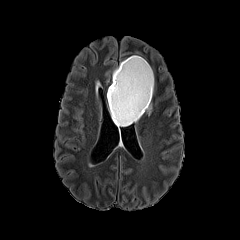
FLAIR MR image.
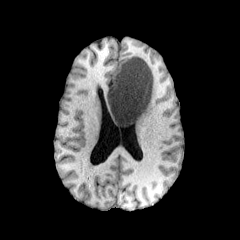
Same slice, T1-weighted MR image.
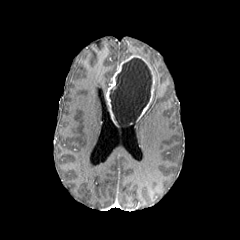
Same slice, post-contrast T1-weighted magnetic resonance.
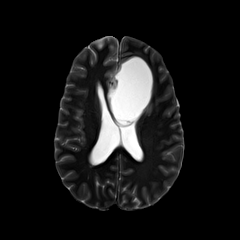
Same slice, T2-weighted MR image.
Head. 240x240.
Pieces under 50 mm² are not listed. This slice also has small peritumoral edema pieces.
necrotic_tumor_core:
  - x1=109 y1=57 x2=152 y2=126
enhancing_tumor:
  - x1=106 y1=55 x2=154 y2=125